FLAIR MR.
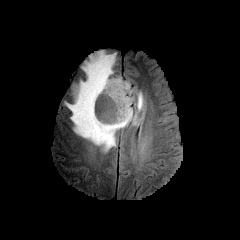
T1-weighted magnetic resonance.
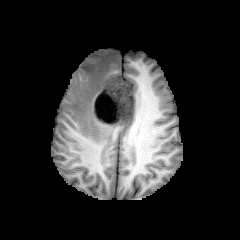
Post-contrast T1-weighted magnetic resonance.
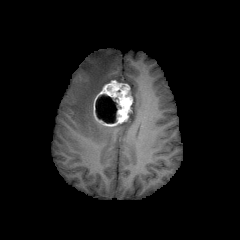
T2-weighted MR.
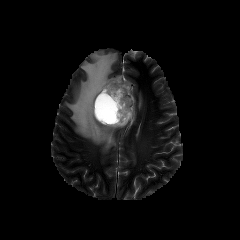
Brain
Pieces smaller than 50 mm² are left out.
The largest peritumoral edema region appears at x1=64 y1=50 x2=143 y2=151. The necrotic tumor core appears at x1=95 y1=94 x2=117 y2=123. The enhancing tumor lies within x1=93 y1=80 x2=132 y2=126.